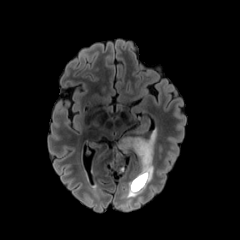
FLAIR MR.
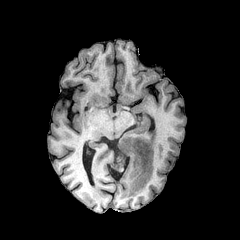
Same slice, T1-weighted magnetic resonance.
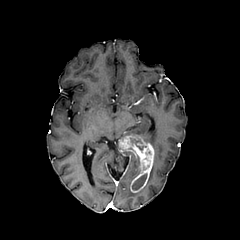
Post-contrast T1-weighted MR of the same slice.
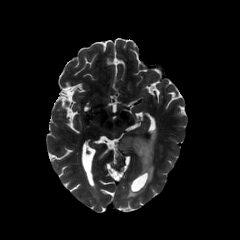
Same slice, T2-weighted MRI.
240x240 px
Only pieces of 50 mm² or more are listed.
<segmentation>
  <peritumoral_edema>143:131:155:149, 147:164:153:183, 126:182:145:198</peritumoral_edema>
  <enhancing_tumor>118:136:154:192</enhancing_tumor>
  <necrotic_tumor_core>132:174:146:189</necrotic_tumor_core>
</segmentation>